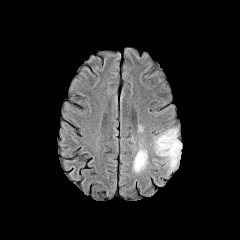
FLAIR magnetic resonance.
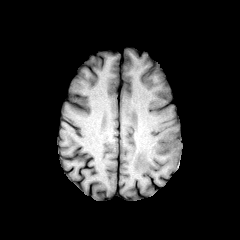
T1-weighted magnetic resonance.
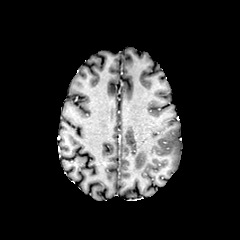
Post-contrast T1-weighted MRI.
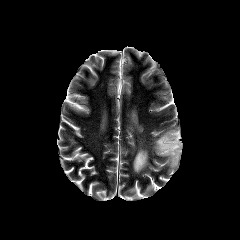
T2-weighted MR.
Brain | Axial slice
3 peritumoral edema regions appear at x1=152 y1=123 x2=182 y2=175, x1=138 y1=124 x2=145 y2=132, x1=133 y1=148 x2=147 y2=172.